FLAIR MRI.
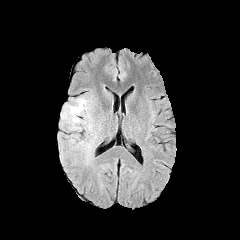
T1-weighted MR.
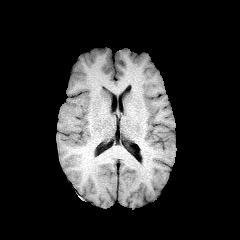
Post-contrast T1-weighted magnetic resonance.
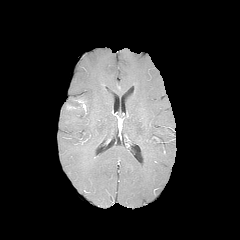
T2-weighted magnetic resonance.
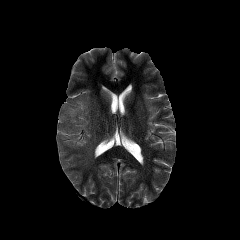
Axial slice | Brain
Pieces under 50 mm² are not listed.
- peritumoral edema: 74 140 93 163, 61 96 92 132